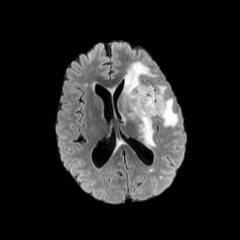
FLAIR magnetic resonance.
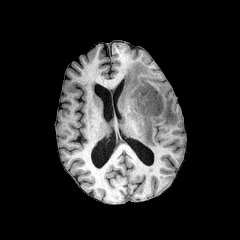
T1-weighted MRI.
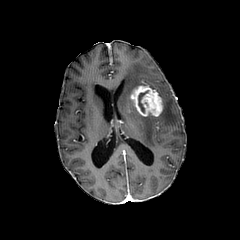
Post-contrast T1-weighted MR image.
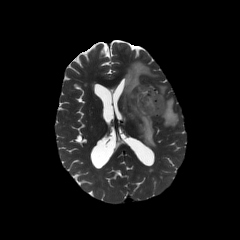
T2-weighted MRI.
Head
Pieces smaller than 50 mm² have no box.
The enhancing tumor is bounded by 130, 85, 163, 116. The necrotic tumor core is located at 138, 91, 147, 112. The 2 largest peritumoral edema regions are bounded by 123, 61, 156, 146; 157, 85, 178, 126.